Axial view; Image covers 240 mm x 240 mm; Head; Slice index 111; 240x240
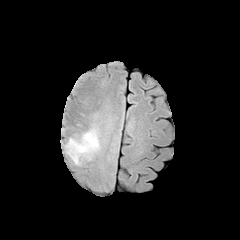
FLAIR MR image.
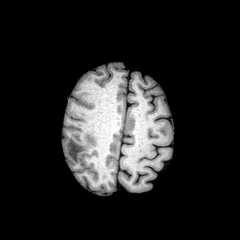
T1-weighted magnetic resonance.
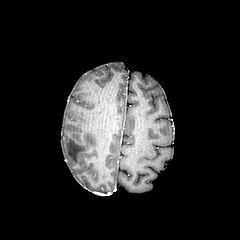
Same slice, post-contrast T1-weighted MR.
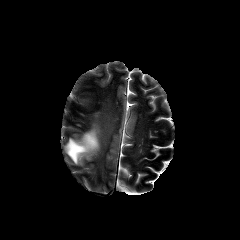
T2-weighted MR image.
Annotated regions:
• peritumoral edema: x1=65 y1=129 x2=99 y2=164